Image covers 240 mm x 240 mm. Brain.
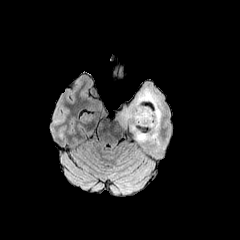
FLAIR MR.
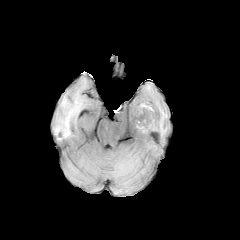
Same slice, T1-weighted magnetic resonance.
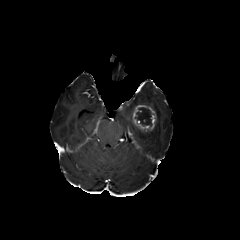
Same slice, post-contrast T1-weighted MR image.
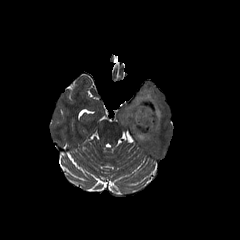
T2-weighted MR image of the same slice.
Findings:
* enhancing tumor: [x1=130, y1=105, x2=156, y2=130]
* peritumoral edema: [x1=123, y1=88, x2=161, y2=142]
* necrotic tumor core: [x1=136, y1=107, x2=151, y2=126]